Axial view | Slice 93 of 155 | Image width 240 mm
FLAIR MRI.
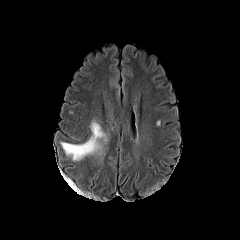
T1-weighted magnetic resonance.
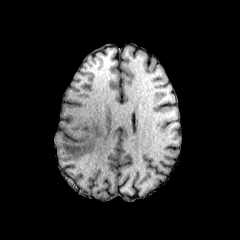
Post-contrast T1-weighted magnetic resonance.
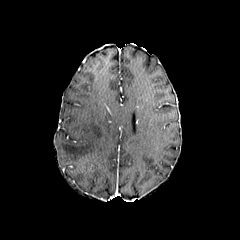
T2-weighted magnetic resonance.
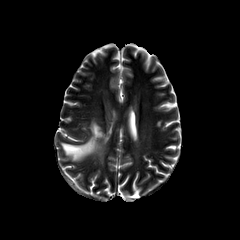
Findings:
- peritumoral edema: box=[61, 120, 107, 161]